Head
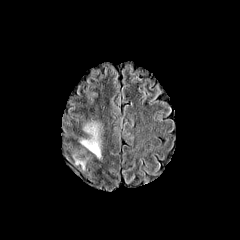
FLAIR MR.
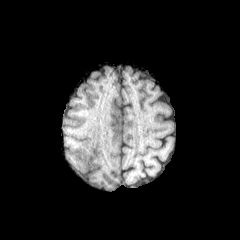
T1-weighted MRI.
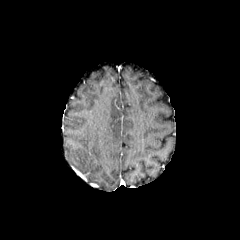
Post-contrast T1-weighted magnetic resonance.
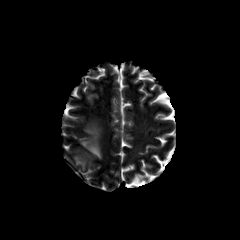
T2-weighted magnetic resonance of the same slice.
peritumoral edema: 73 155 86 169, 77 121 103 159